FLAIR magnetic resonance.
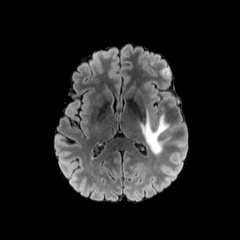
T1-weighted magnetic resonance.
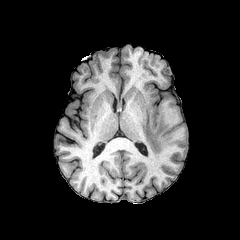
Post-contrast T1-weighted MRI.
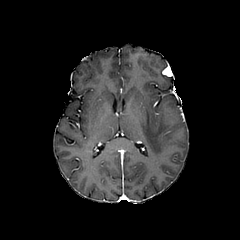
T2-weighted magnetic resonance.
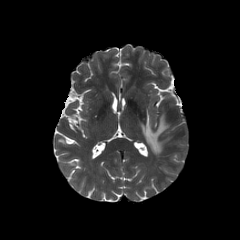
Brain
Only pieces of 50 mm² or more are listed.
peritumoral_edema:
  - [x1=140, y1=108, x2=169, y2=154]